Slice 82/155, Image width 240 mm
FLAIR magnetic resonance.
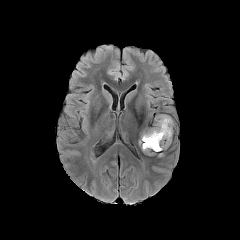
T1-weighted MRI.
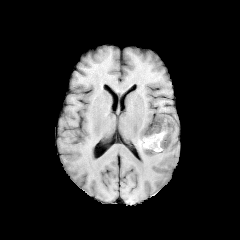
Post-contrast T1-weighted MRI.
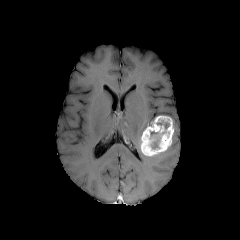
T2-weighted MR image.
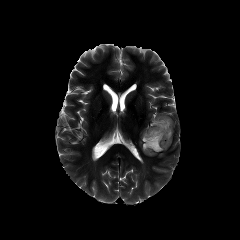
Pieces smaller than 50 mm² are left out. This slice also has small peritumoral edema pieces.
Annotated regions:
* enhancing tumor: 141, 115, 173, 156
* necrotic tumor core: 151, 137, 160, 148